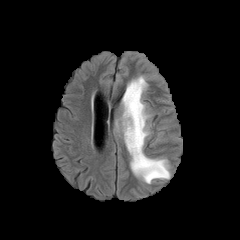
FLAIR MR.
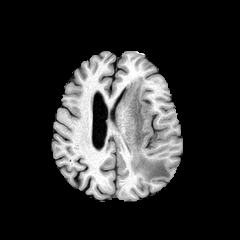
T1-weighted MRI.
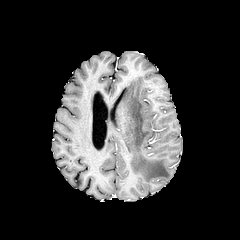
Post-contrast T1-weighted MR image of the same slice.
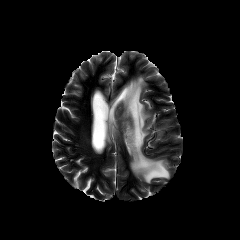
T2-weighted MRI.
Head, Axial slice
peritumoral edema: x1=122 y1=76 x2=170 y2=183